Brain
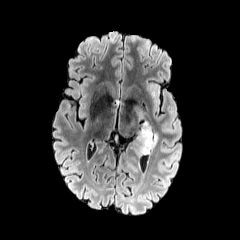
FLAIR MR.
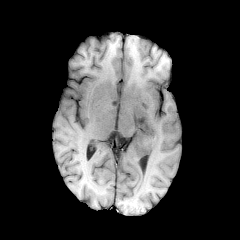
Same slice, T1-weighted magnetic resonance.
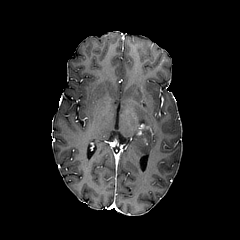
Same slice, post-contrast T1-weighted magnetic resonance.
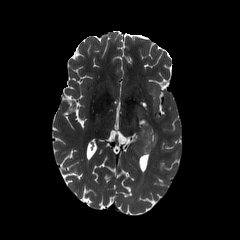
Same slice, T2-weighted MR image.
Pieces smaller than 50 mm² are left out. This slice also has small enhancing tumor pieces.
Annotated regions:
- peritumoral edema: <box>137,122,157,153</box>